Axial plane, Image width 240 mm
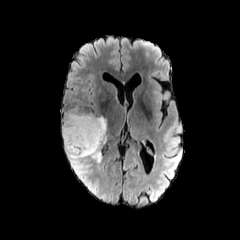
FLAIR MRI.
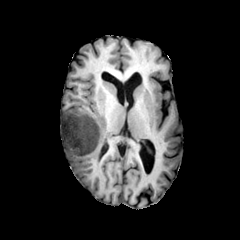
T1-weighted MRI of the same slice.
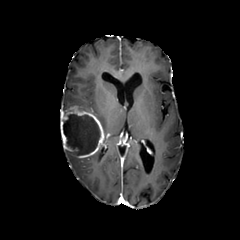
Post-contrast T1-weighted magnetic resonance of the same slice.
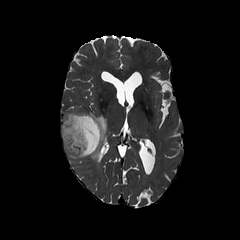
T2-weighted MRI.
{
  "enhancing_tumor": [
    "61, 106, 105, 158"
  ],
  "necrotic_tumor_core": [
    "63, 114, 100, 155"
  ],
  "peritumoral_edema": [
    "65, 150, 86, 168",
    "90, 148, 102, 162",
    "97, 115, 107, 143"
  ]
}